Brain, Axial plane
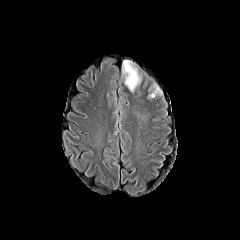
FLAIR MR.
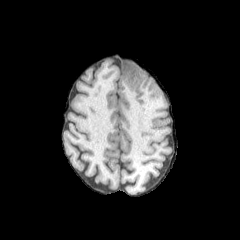
T1-weighted MR image.
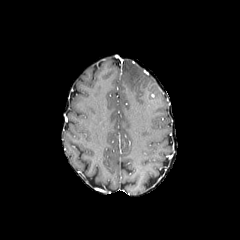
Post-contrast T1-weighted MR.
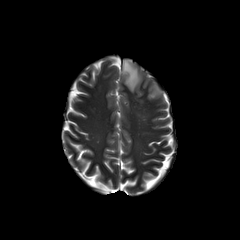
T2-weighted magnetic resonance.
{
  "peritumoral_edema": [
    "[153,84,161,95]",
    "[122,60,141,92]"
  ]
}